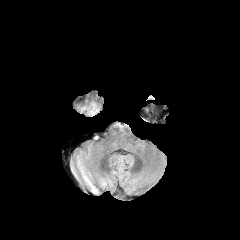
FLAIR MR.
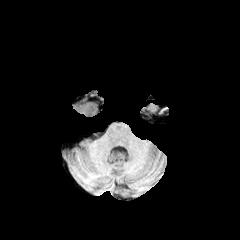
T1-weighted MR image of the same slice.
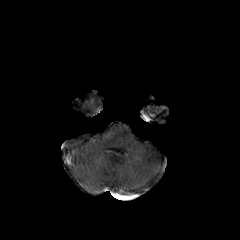
Post-contrast T1-weighted MR image.
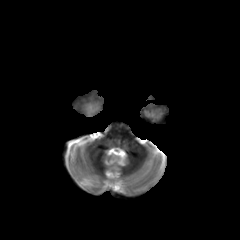
T2-weighted magnetic resonance.
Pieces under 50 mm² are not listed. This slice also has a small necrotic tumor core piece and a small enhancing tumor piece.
peritumoral edema: (82,105,93,115)